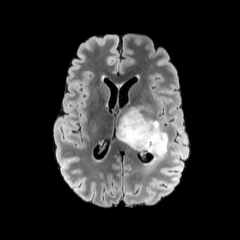
FLAIR MR.
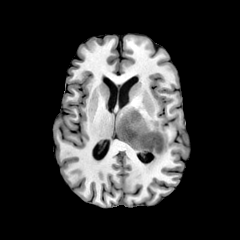
T1-weighted MR.
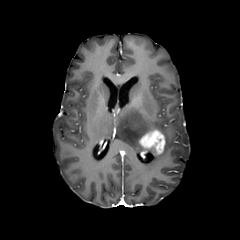
Post-contrast T1-weighted magnetic resonance of the same slice.
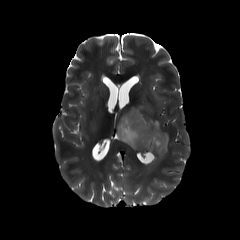
Same slice, T2-weighted MR.
Axial slice; Image size 240x240
Segmented structures:
• peritumoral edema: region(117, 107, 168, 165)
• enhancing tumor: region(139, 129, 165, 154)